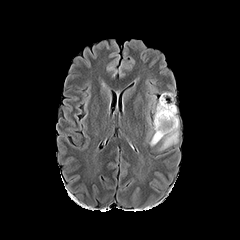
FLAIR MRI.
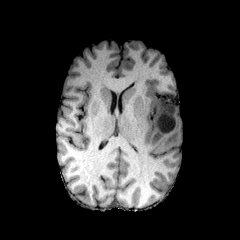
T1-weighted magnetic resonance of the same slice.
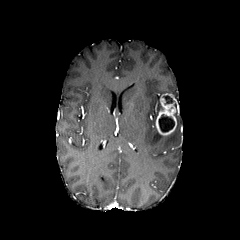
Post-contrast T1-weighted magnetic resonance.
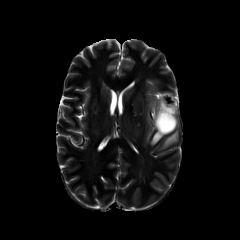
T2-weighted MRI.
Axial slice | Brain
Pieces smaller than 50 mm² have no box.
peritumoral edema: (x1=150, y1=98, x2=179, y2=149) | enhancing tumor: (x1=155, y1=93, x2=176, y2=135) | necrotic tumor core: (x1=158, y1=114, x2=174, y2=132), (x1=163, y1=95, x2=173, y2=104)